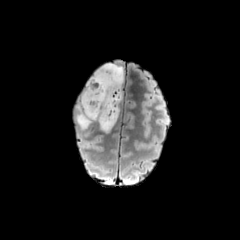
FLAIR MRI.
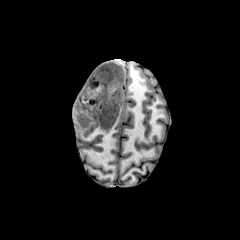
T1-weighted magnetic resonance.
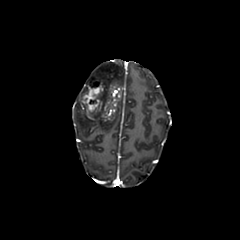
Post-contrast T1-weighted MRI.
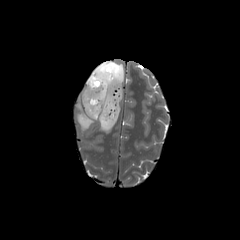
Same slice, T2-weighted MR image.
Brain
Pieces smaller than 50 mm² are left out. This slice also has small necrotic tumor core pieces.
enhancing tumor: <bbox>80, 77, 122, 121</bbox> | peritumoral edema: <bbox>90, 63, 124, 86</bbox>, <bbox>76, 102, 119, 132</bbox>